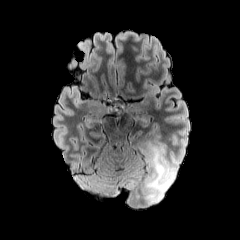
FLAIR MR image.
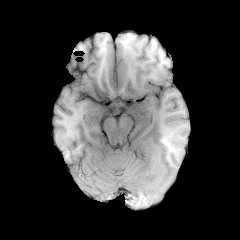
T1-weighted MRI.
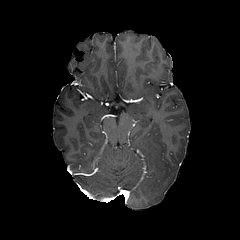
Post-contrast T1-weighted MR of the same slice.
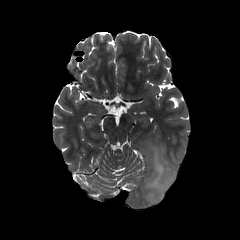
T2-weighted MRI.
Head
peritumoral edema: bounding box x1=144, y1=143, x2=176, y2=203